FLAIR MRI.
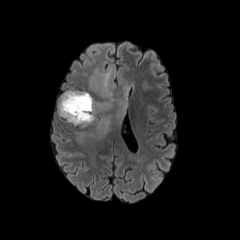
T1-weighted MR image.
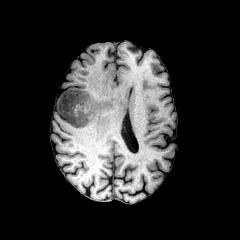
Post-contrast T1-weighted MRI.
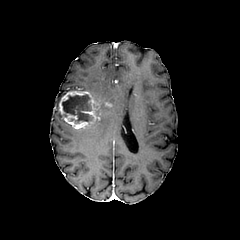
T2-weighted magnetic resonance.
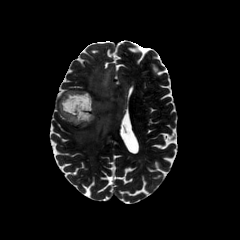
Axial plane, Image size 240x240, Head
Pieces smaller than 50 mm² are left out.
Annotated regions:
- peritumoral edema: rect(88, 51, 127, 130); rect(77, 132, 86, 139)
- necrotic tumor core: rect(62, 94, 92, 121)
- enhancing tumor: rect(59, 90, 100, 129)